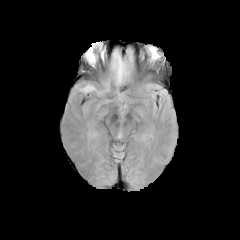
FLAIR MRI.
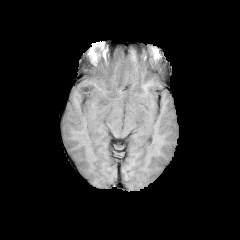
T1-weighted MR of the same slice.
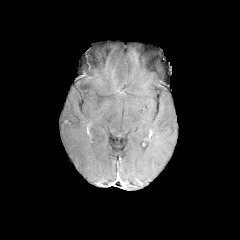
Post-contrast T1-weighted MR.
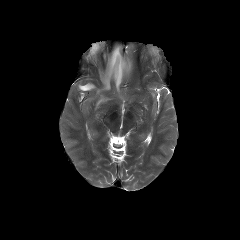
Same slice, T2-weighted MR.
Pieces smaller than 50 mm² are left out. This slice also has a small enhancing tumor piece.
{
  "peritumoral_edema": [
    {"x1": 80, "y1": 84, "x2": 95, "y2": 91},
    {"x1": 103, "y1": 48, "x2": 134, "y2": 90}
  ]
}